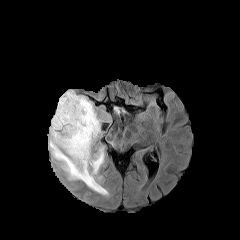
FLAIR magnetic resonance.
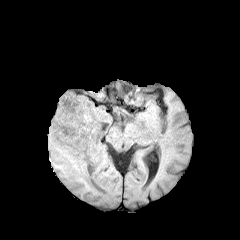
Same slice, T1-weighted MRI.
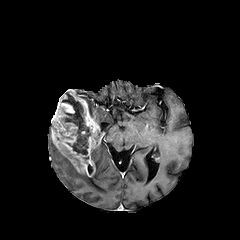
Post-contrast T1-weighted MR of the same slice.
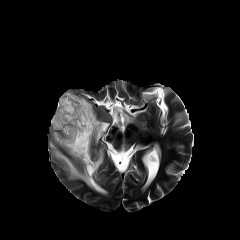
Same slice, T2-weighted MR image.
Axial plane. Head.
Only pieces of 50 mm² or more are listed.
The largest necrotic tumor core region is located at rect(62, 92, 90, 154). The 2 largest peritumoral edema regions are located at rect(80, 96, 101, 127); rect(49, 128, 107, 194). The largest enhancing tumor region is bounded by rect(51, 89, 102, 177).